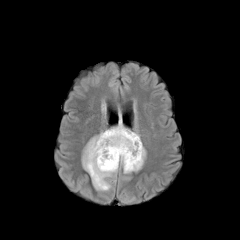
FLAIR MRI.
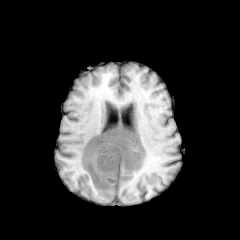
Same slice, T1-weighted MR image.
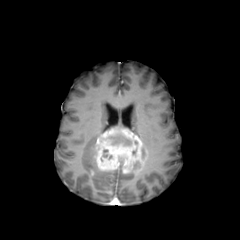
Post-contrast T1-weighted MR.
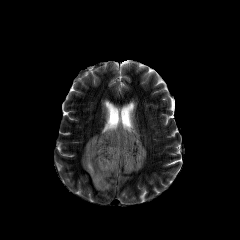
T2-weighted MR.
Head, Axial view, 240x240
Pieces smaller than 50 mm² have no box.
The 2 largest peritumoral edema regions are located at [x1=130, y1=146, x2=146, y2=172], [x1=82, y1=135, x2=118, y2=191]. The largest enhancing tumor region lies within [x1=95, y1=127, x2=142, y2=173]. The largest necrotic tumor core region lies within [x1=109, y1=134, x2=131, y2=145].